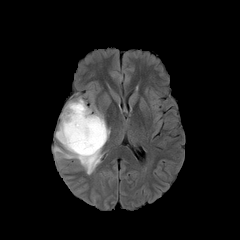
FLAIR MR image.
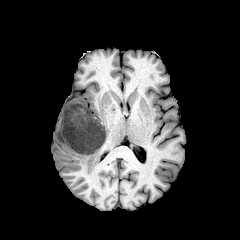
Same slice, T1-weighted MR.
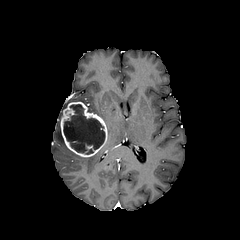
Same slice, post-contrast T1-weighted MR image.
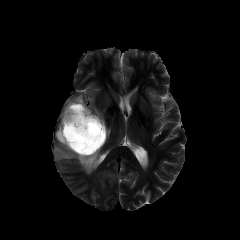
Same slice, T2-weighted MR image.
Head.
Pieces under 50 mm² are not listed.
The necrotic tumor core is at [63, 104, 105, 154]. The enhancing tumor appears at [60, 101, 107, 157]. The largest peritumoral edema region lies within [53, 124, 101, 174].